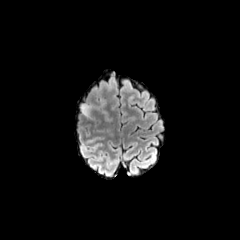
FLAIR MRI.
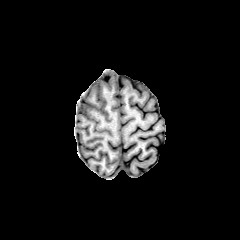
T1-weighted MR.
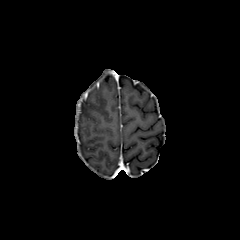
Post-contrast T1-weighted magnetic resonance.
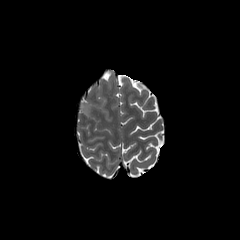
T2-weighted MRI.
peritumoral edema at (79,102,88,114)